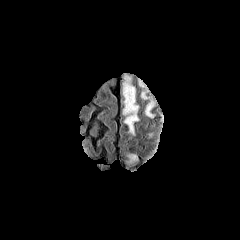
FLAIR MR.
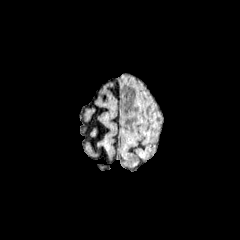
Same slice, T1-weighted MRI.
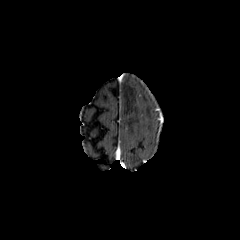
Post-contrast T1-weighted MR image of the same slice.
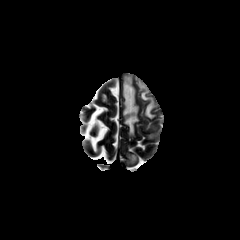
T2-weighted MR image of the same slice.
Axial plane. Brain.
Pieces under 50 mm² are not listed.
peritumoral edema: bounding box (x1=125, y1=154, x2=137, y2=166), (x1=123, y1=76, x2=138, y2=134), (x1=145, y1=101, x2=153, y2=117)